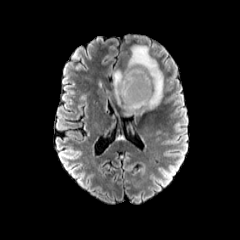
FLAIR MRI.
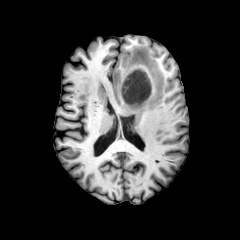
T1-weighted MR.
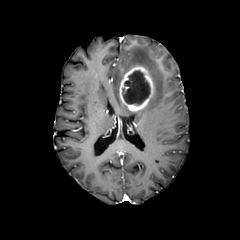
Post-contrast T1-weighted magnetic resonance of the same slice.
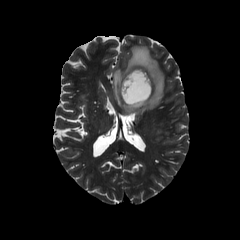
Same slice, T2-weighted MRI.
Axial slice. Head.
necrotic tumor core: bounding box [122,71,150,104]
peritumoral edema: bounding box [113,46,163,115]
enhancing tumor: bounding box [119,65,154,111]